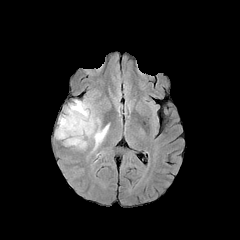
FLAIR MR.
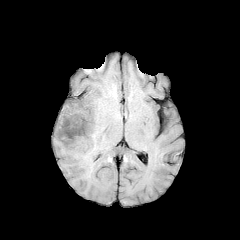
Same slice, T1-weighted MR image.
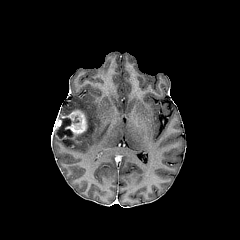
Post-contrast T1-weighted MR image.
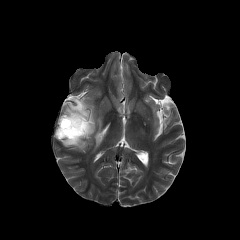
T2-weighted MRI.
Brain | Image size 240x240
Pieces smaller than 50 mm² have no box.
{"peritumoral_edema": ["rect(63, 98, 109, 149)"], "necrotic_tumor_core": ["rect(57, 118, 73, 137)"], "enhancing_tumor": ["rect(56, 110, 87, 142)"]}